Image covers 240 mm x 240 mm, Slice 82/155
FLAIR magnetic resonance.
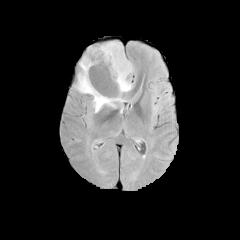
T1-weighted magnetic resonance.
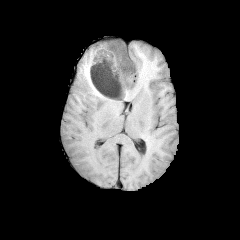
Post-contrast T1-weighted MRI.
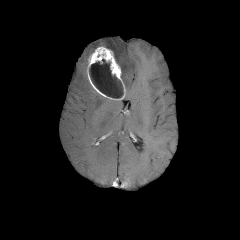
T2-weighted MR.
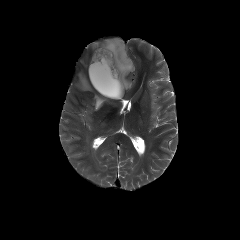
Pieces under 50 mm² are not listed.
<segmentation>
  <peritumoral_edema>[101, 41, 134, 91], [76, 45, 122, 111]</peritumoral_edema>
  <enhancing_tumor>[87, 46, 126, 99]</enhancing_tumor>
  <necrotic_tumor_core>[89, 59, 122, 98]</necrotic_tumor_core>
</segmentation>